Slice 64 of 155 | Axial plane | 240x240 px
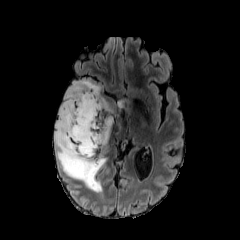
FLAIR MR image.
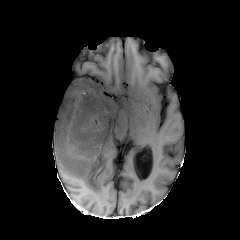
T1-weighted MRI.
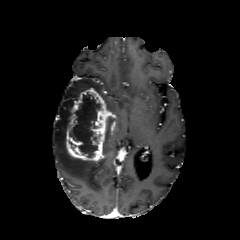
Post-contrast T1-weighted magnetic resonance.
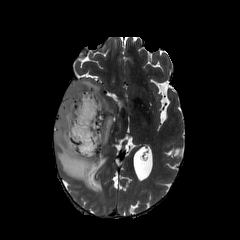
T2-weighted MR.
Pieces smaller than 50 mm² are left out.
enhancing_tumor:
  - bbox(65, 88, 115, 161)
peritumoral_edema:
  - bbox(117, 99, 124, 107)
  - bbox(54, 80, 106, 192)
  - bbox(103, 117, 112, 152)
necrotic_tumor_core:
  - bbox(70, 92, 100, 157)